Head; Slice 106/155; Image width 240 mm, 1.00 mm slice spacing
FLAIR MR image.
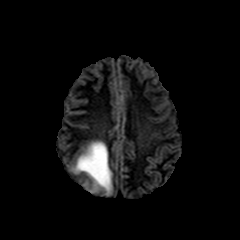
T1-weighted MR image.
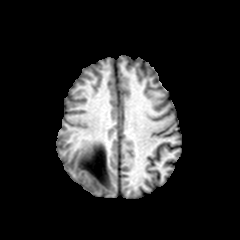
Post-contrast T1-weighted MR image.
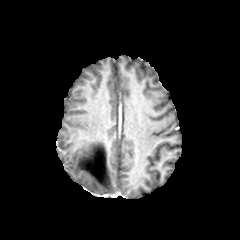
T2-weighted MR image.
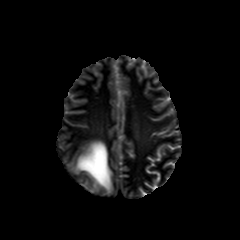
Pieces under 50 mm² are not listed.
Findings:
- peritumoral edema: [x1=71, y1=141, x2=112, y2=194]